Axial slice
FLAIR MR.
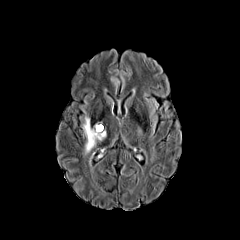
T1-weighted MR.
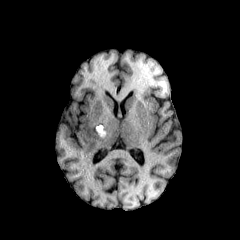
Post-contrast T1-weighted MR image.
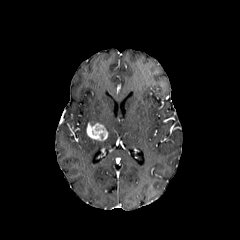
T2-weighted MR image.
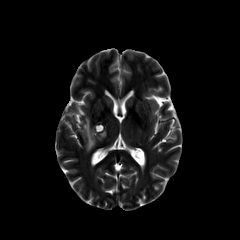
Findings:
* enhancing tumor: bbox(86, 123, 107, 140)
* peritumoral edema: bbox(82, 117, 96, 154)